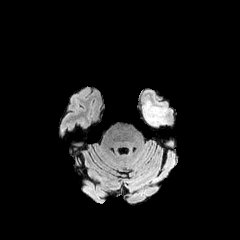
FLAIR MRI.
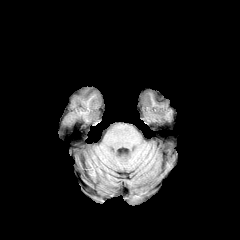
T1-weighted MR image of the same slice.
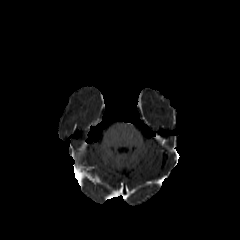
Same slice, post-contrast T1-weighted magnetic resonance.
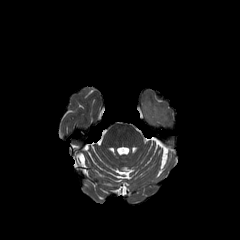
T2-weighted MRI.
{"peritumoral_edema": [{"x1": 142, "y1": 100, "x2": 166, "y2": 125}]}